Brain.
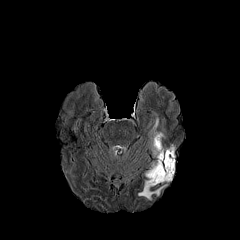
FLAIR MR image.
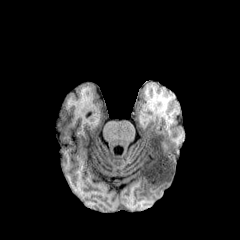
T1-weighted MR.
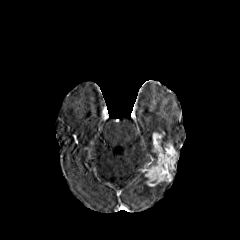
Post-contrast T1-weighted magnetic resonance of the same slice.
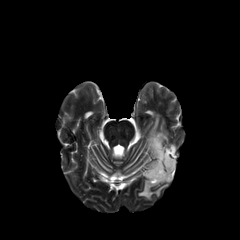
T2-weighted MRI.
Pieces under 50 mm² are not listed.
{"enhancing_tumor": ["[x1=145, y1=132, x2=177, y2=186]"], "peritumoral_edema": ["[x1=149, y1=114, x2=161, y2=149]", "[x1=138, y1=180, x2=167, y2=200]"]}